Axial view
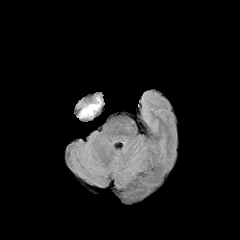
FLAIR MR image.
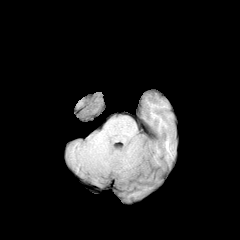
T1-weighted magnetic resonance of the same slice.
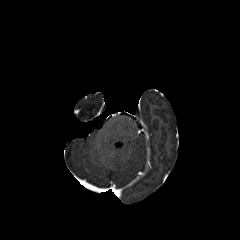
Same slice, post-contrast T1-weighted MR image.
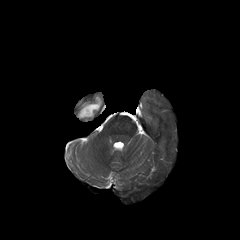
Same slice, T2-weighted MRI.
peritumoral edema: <bbox>79, 97, 101, 117</bbox>